Image size 240x240 | Axial view
FLAIR MR image.
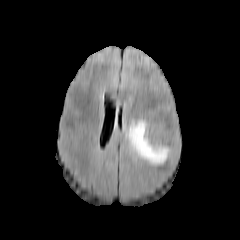
T1-weighted MR.
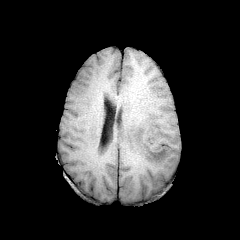
Post-contrast T1-weighted magnetic resonance.
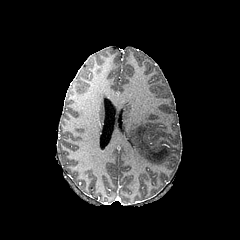
T2-weighted MRI.
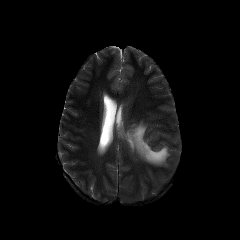
The peritumoral edema is located at (left=124, top=120, right=169, bottom=165).